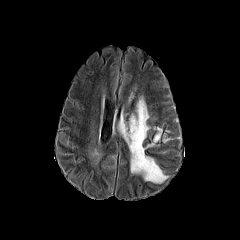
FLAIR MR image.
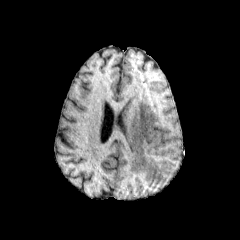
Same slice, T1-weighted MR.
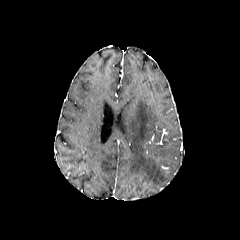
Post-contrast T1-weighted magnetic resonance.
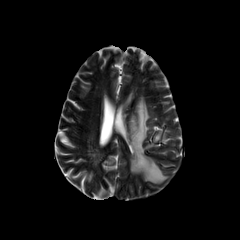
T2-weighted MR.
Image size 240x240, Axial slice, Head
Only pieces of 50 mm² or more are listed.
peritumoral edema = (x1=120, y1=98, x2=167, y2=183)